Axial slice. Brain.
FLAIR MRI.
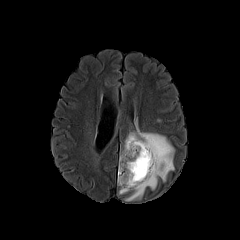
T1-weighted MR.
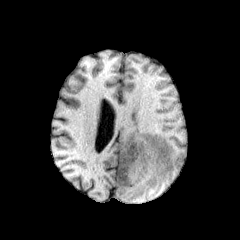
Post-contrast T1-weighted MR image.
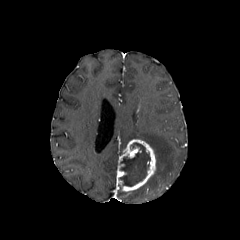
T2-weighted magnetic resonance.
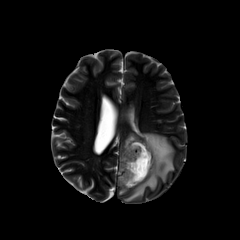
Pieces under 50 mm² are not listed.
Annotated regions:
* necrotic tumor core: <bbox>119, 143, 150, 186</bbox>
* peritumoral edema: <bbox>124, 127, 174, 201</bbox>
* enhancing tumor: <bbox>117, 139, 156, 191</bbox>